Slice index 93
FLAIR MR.
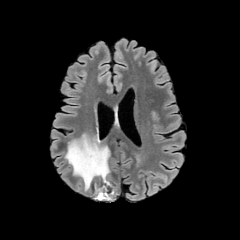
T1-weighted MR image.
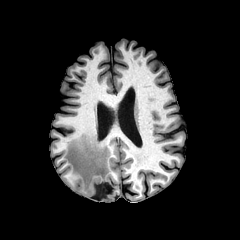
Post-contrast T1-weighted MR image.
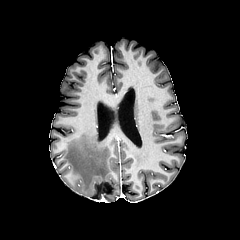
T2-weighted MR.
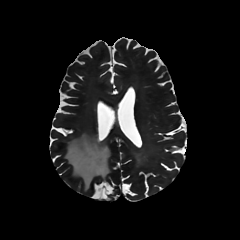
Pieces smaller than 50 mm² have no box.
Segmented structures:
• peritumoral edema: 64, 134, 110, 190